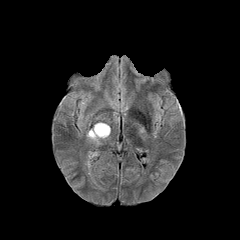
FLAIR MR image.
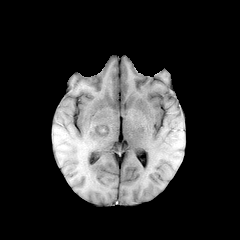
T1-weighted MRI of the same slice.
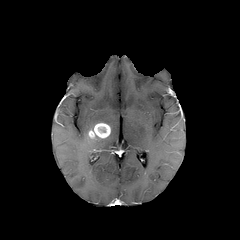
Post-contrast T1-weighted magnetic resonance.
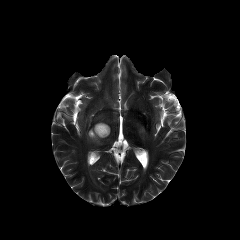
T2-weighted MR of the same slice.
Axial plane
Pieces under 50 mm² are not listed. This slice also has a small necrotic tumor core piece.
The largest peritumoral edema region is located at bbox(87, 133, 100, 144). The enhancing tumor appears at bbox(88, 123, 110, 139).